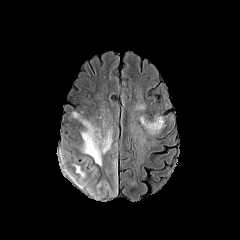
FLAIR magnetic resonance.
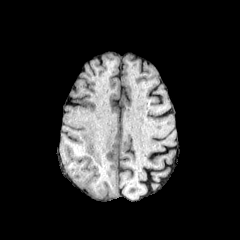
T1-weighted magnetic resonance.
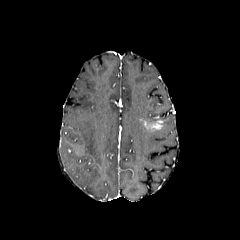
Post-contrast T1-weighted MR image.
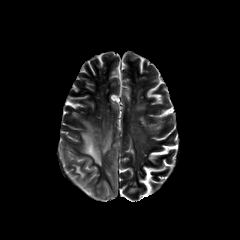
T2-weighted MRI of the same slice.
Axial view, Head, 240x240 px
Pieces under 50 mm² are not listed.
peritumoral edema at {"x1": 86, "y1": 160, "x2": 117, "y2": 198}, {"x1": 81, "y1": 119, "x2": 112, "y2": 165}, {"x1": 75, "y1": 165, "x2": 85, "y2": 185}
enhancing tumor at {"x1": 143, "y1": 117, "x2": 163, "y2": 135}